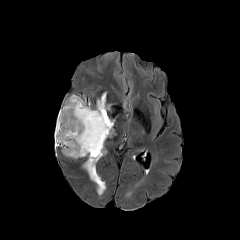
FLAIR magnetic resonance.
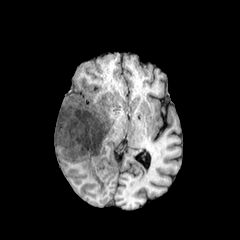
Same slice, T1-weighted MR.
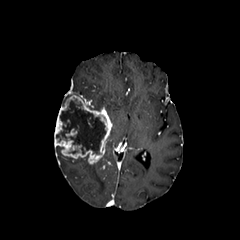
Post-contrast T1-weighted MR.
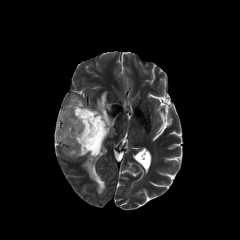
Same slice, T2-weighted MRI.
240x240 | Axial plane
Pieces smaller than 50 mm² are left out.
* enhancing tumor: <bbox>54, 94, 112, 164</bbox>
* necrotic tumor core: <bbox>56, 100, 105, 153</bbox>
* peritumoral edema: <bbox>82, 161, 106, 195</bbox>, <bbox>94, 92, 110, 110</bbox>